Head. Axial view.
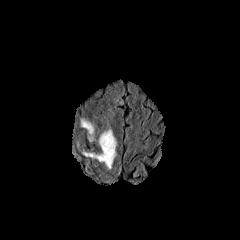
FLAIR MRI.
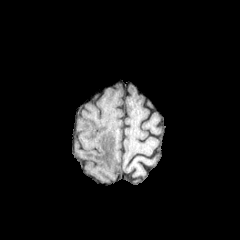
Same slice, T1-weighted MR.
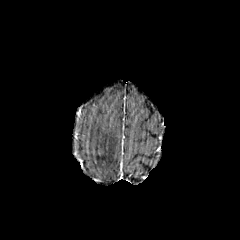
Post-contrast T1-weighted MR image.
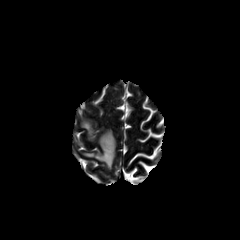
T2-weighted MRI.
2 peritumoral edema regions are located at (x1=81, y1=128, x2=117, y2=169), (x1=80, y1=118, x2=95, y2=141).